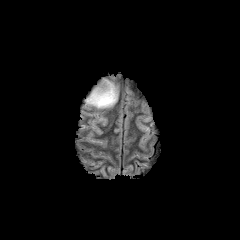
FLAIR MR.
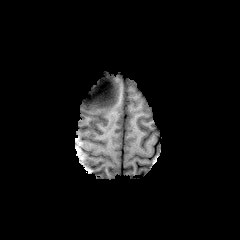
T1-weighted MRI.
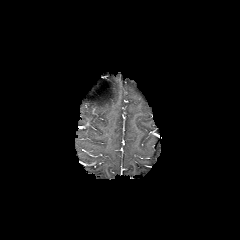
Post-contrast T1-weighted magnetic resonance of the same slice.
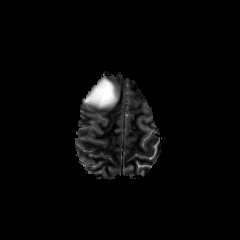
Same slice, T2-weighted magnetic resonance.
Head | 240x240
<segmentation>
  <necrotic_tumor_core>box=[101, 82, 111, 99]</necrotic_tumor_core>
  <peritumoral_edema>box=[85, 78, 118, 108]</peritumoral_edema>
</segmentation>